Image width 240 mm, 1.00 mm slice spacing, Head
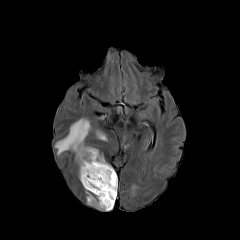
FLAIR magnetic resonance.
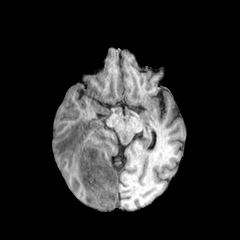
Same slice, T1-weighted MR.
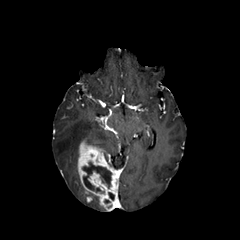
Same slice, post-contrast T1-weighted magnetic resonance.
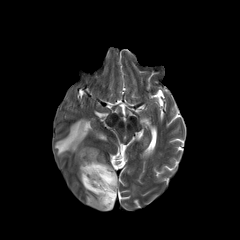
T2-weighted MR.
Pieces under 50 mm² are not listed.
<segmentation>
  <peritumoral_edema><box>55,118,91,164</box>, <box>96,131,106,140</box>, <box>87,193,105,210</box></peritumoral_edema>
  <enhancing_tumor><box>78,139,118,211</box></enhancing_tumor>
  <necrotic_tumor_core><box>83,162,111,192</box></necrotic_tumor_core>
</segmentation>